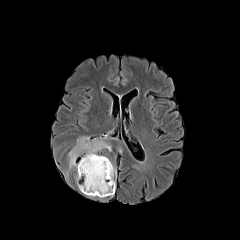
FLAIR magnetic resonance.
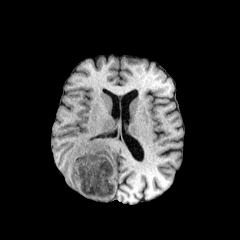
Same slice, T1-weighted MRI.
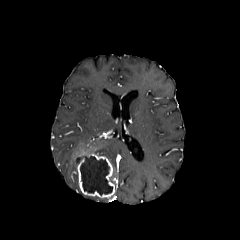
Post-contrast T1-weighted MRI of the same slice.
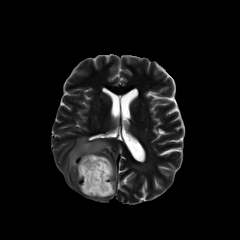
Same slice, T2-weighted MR image.
Head
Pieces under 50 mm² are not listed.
{"necrotic_tumor_core": ["<bbox>80, 156, 112, 194</bbox>"], "enhancing_tumor": ["<bbox>77, 153, 115, 198</bbox>"], "peritumoral_edema": ["<bbox>68, 134, 111, 169</bbox>"]}